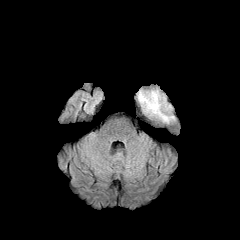
FLAIR MR.
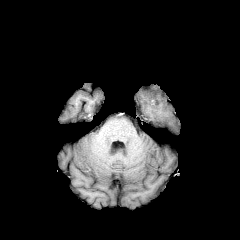
Same slice, T1-weighted MRI.
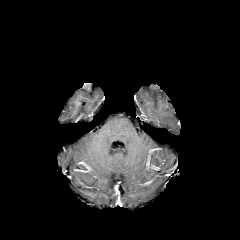
Post-contrast T1-weighted MR of the same slice.
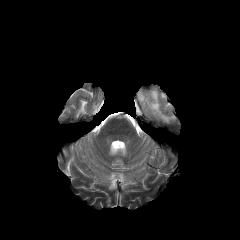
T2-weighted magnetic resonance.
Head; Axial slice
peritumoral edema: [x1=137, y1=89, x2=174, y2=122]